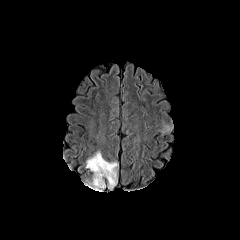
FLAIR MRI.
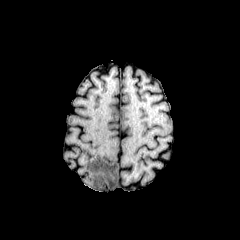
Same slice, T1-weighted MR image.
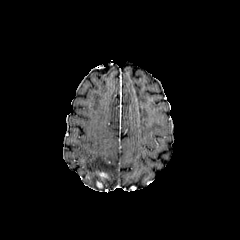
Post-contrast T1-weighted MRI of the same slice.
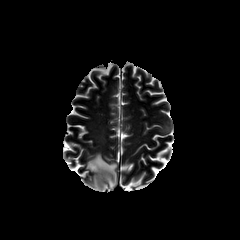
Same slice, T2-weighted magnetic resonance.
Brain | Axial slice
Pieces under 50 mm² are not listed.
{
  "enhancing_tumor": [
    "96, 171, 109, 181"
  ],
  "peritumoral_edema": [
    "86, 152, 118, 190"
  ]
}